Axial plane | 240x240
FLAIR MR.
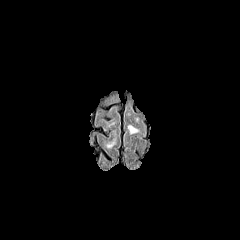
T1-weighted magnetic resonance.
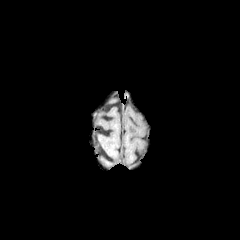
Post-contrast T1-weighted MR.
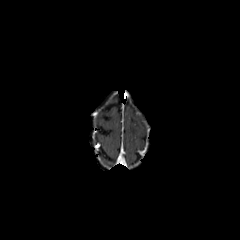
T2-weighted MR.
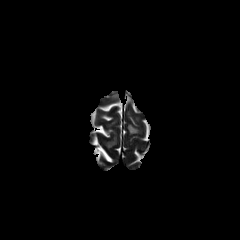
peritumoral edema: <box>128,125,137,133</box>